Head, Axial view
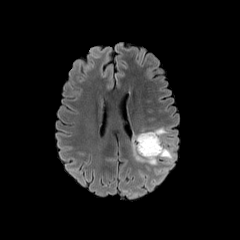
FLAIR MR.
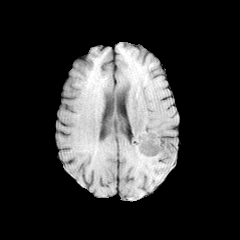
Same slice, T1-weighted MR.
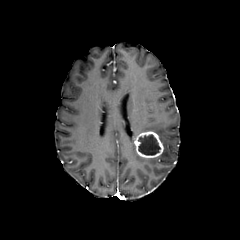
Same slice, post-contrast T1-weighted MR image.
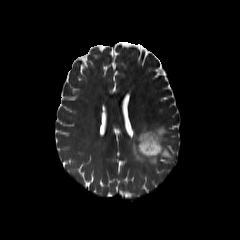
Same slice, T2-weighted MRI.
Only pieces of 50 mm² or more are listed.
necrotic tumor core at <box>138,134,160,155</box>
enhancing tumor at <box>134,131,163,158</box>
peritumoral edema at <box>131,126,175,165</box>